240x240, Image width 240 mm, 1.00 mm slice spacing, Slice 105 of 155
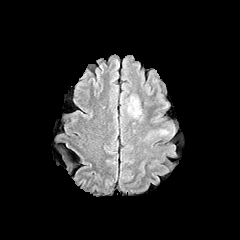
FLAIR MR.
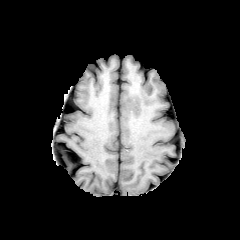
T1-weighted magnetic resonance of the same slice.
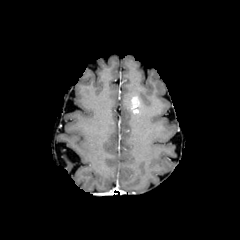
Same slice, post-contrast T1-weighted MR.
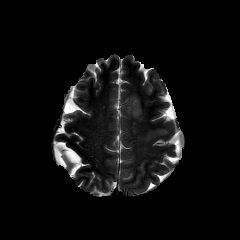
T2-weighted magnetic resonance of the same slice.
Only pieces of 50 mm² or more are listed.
Findings:
- enhancing tumor: rect(129, 96, 140, 113)
- peritumoral edema: rect(127, 102, 141, 118)